FLAIR MRI.
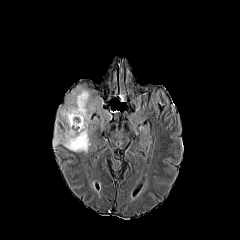
T1-weighted MR.
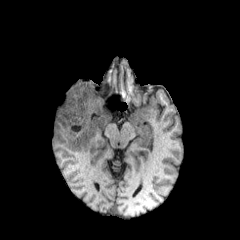
Post-contrast T1-weighted MRI.
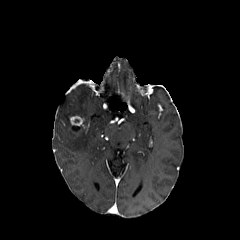
T2-weighted MRI.
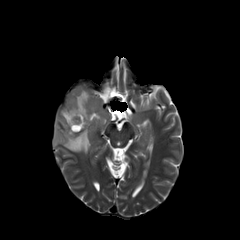
Head
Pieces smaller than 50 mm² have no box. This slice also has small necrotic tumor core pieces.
{"peritumoral_edema": ["bbox=[53, 84, 111, 153]"], "enhancing_tumor": ["bbox=[70, 115, 85, 128]"]}